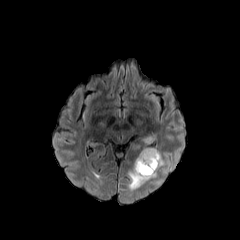
FLAIR MR image.
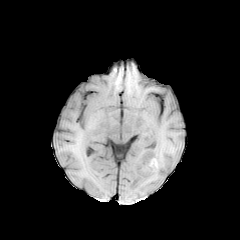
T1-weighted MRI of the same slice.
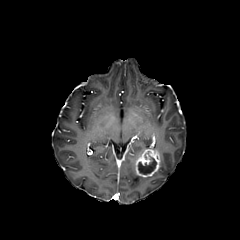
Post-contrast T1-weighted magnetic resonance.
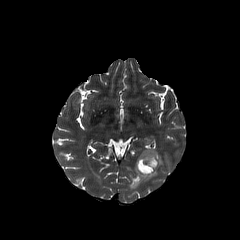
T2-weighted MRI of the same slice.
Axial view, Brain, 240x240 px
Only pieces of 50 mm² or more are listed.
The necrotic tumor core lies within left=138, top=158, right=156, bottom=174. The 2 largest peritumoral edema regions are bounded by left=160, top=152, right=173, bottom=176; left=128, top=163, right=157, bottom=190. The enhancing tumor lies within left=135, top=149, right=160, bottom=177.